FLAIR MR image.
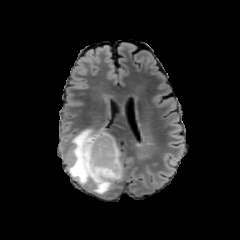
T1-weighted MRI.
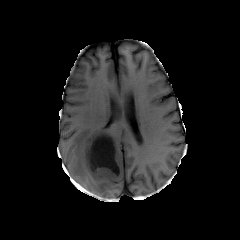
Post-contrast T1-weighted MR image.
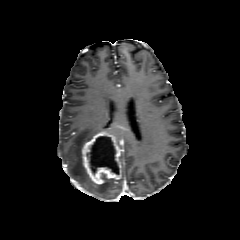
T2-weighted MR.
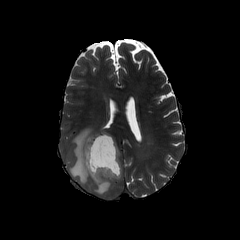
Brain | Axial view
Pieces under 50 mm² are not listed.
peritumoral edema: 67,128,115,194
enhancing tumor: 82,131,122,184
necrotic tumor core: 89,136,119,174